Axial plane. 240x240 px. Image width 240 mm. Slice 60 of 155.
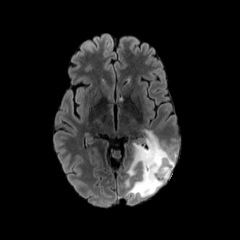
FLAIR MR image.
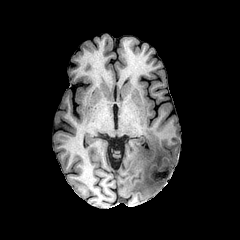
T1-weighted MR.
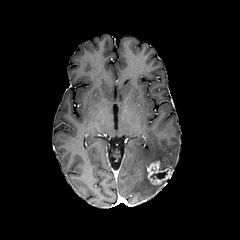
Same slice, post-contrast T1-weighted MR image.
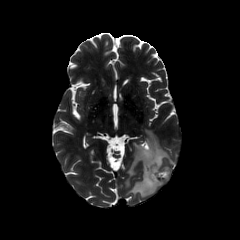
Same slice, T2-weighted MR.
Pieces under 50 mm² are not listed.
enhancing tumor: bounding box x1=146 y1=160 x2=172 y2=184
necrotic tumor core: bounding box x1=150 y1=170 x2=167 y2=179
peritumoral edema: bounding box x1=125 y1=129 x2=176 y2=197